240x240. Image covers 240 mm x 240 mm.
FLAIR MR image.
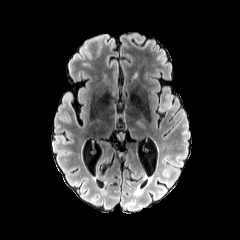
T1-weighted MRI.
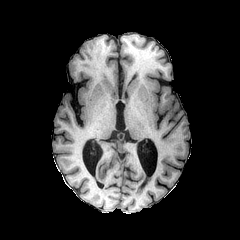
Post-contrast T1-weighted MR image.
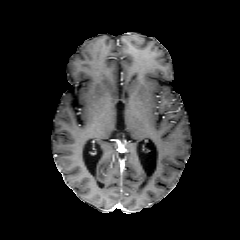
T2-weighted magnetic resonance.
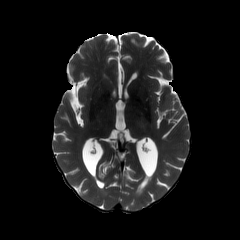
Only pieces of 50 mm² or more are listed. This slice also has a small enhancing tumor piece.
peritumoral edema: bounding box (159, 94, 178, 111)